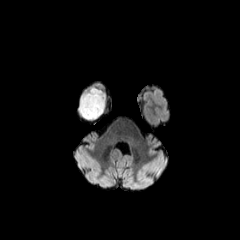
FLAIR MRI.
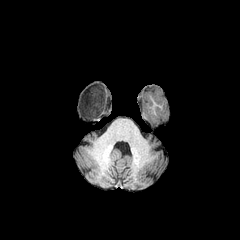
T1-weighted MRI.
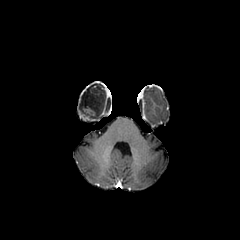
Post-contrast T1-weighted MR.
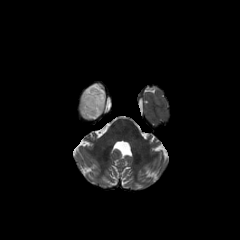
Same slice, T2-weighted MR image.
Image size 240x240
<segmentation>
  <peritumoral_edema>{"x1": 79, "y1": 85, "x2": 105, "y2": 119}</peritumoral_edema>
  <enhancing_tumor>{"x1": 80, "y1": 106, "x2": 95, "y2": 120}</enhancing_tumor>
</segmentation>